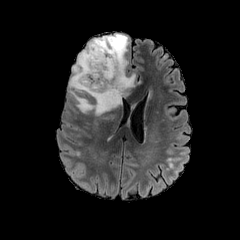
FLAIR magnetic resonance.
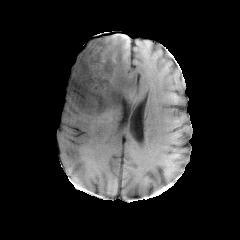
T1-weighted MRI.
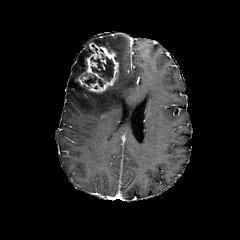
Same slice, post-contrast T1-weighted magnetic resonance.
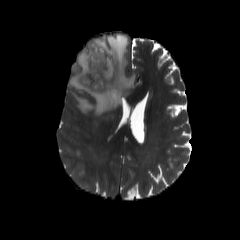
Same slice, T2-weighted MR image.
240x240 px. Axial view.
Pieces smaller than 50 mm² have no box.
necrotic tumor core: region(84, 75, 104, 86); region(91, 57, 114, 81)
peritumoral edema: region(68, 34, 135, 115)
enhancing tumor: region(75, 43, 118, 92)